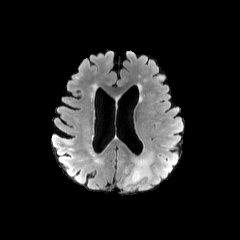
FLAIR MRI.
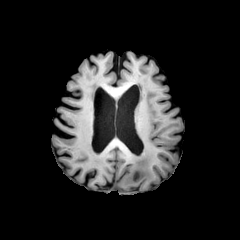
Same slice, T1-weighted MR.
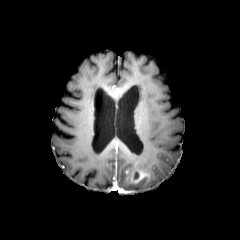
Same slice, post-contrast T1-weighted MRI.
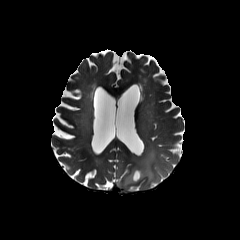
T2-weighted MRI.
Axial view.
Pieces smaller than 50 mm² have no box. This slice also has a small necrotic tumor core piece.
<segmentation>
  <peritumoral_edema>box=[117, 148, 159, 192]</peritumoral_edema>
  <enhancing_tumor>box=[121, 167, 149, 186]</enhancing_tumor>
</segmentation>